Image size 240x240; Image covers 240 mm x 240 mm; Brain; Slice 71 of 155
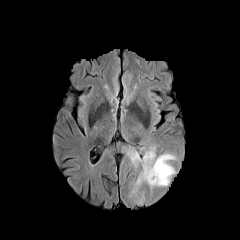
FLAIR magnetic resonance.
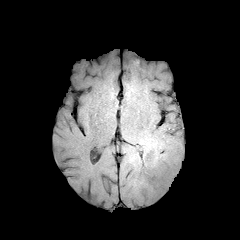
T1-weighted MRI of the same slice.
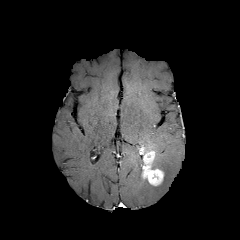
Same slice, post-contrast T1-weighted magnetic resonance.
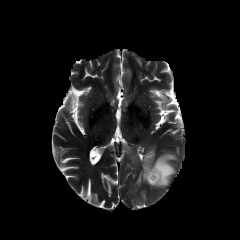
T2-weighted MR image of the same slice.
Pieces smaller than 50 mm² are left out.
Annotated regions:
• peritumoral edema: [122,144,143,164], [132,153,176,193]
• enhancing tumor: [141,149,164,185]